FLAIR magnetic resonance.
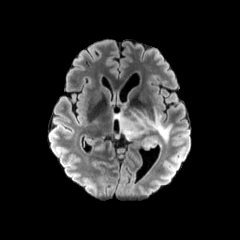
T1-weighted magnetic resonance.
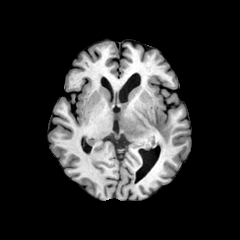
Post-contrast T1-weighted MR image.
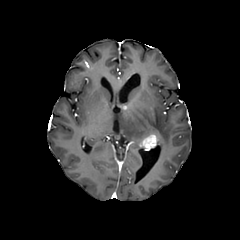
T2-weighted MR image.
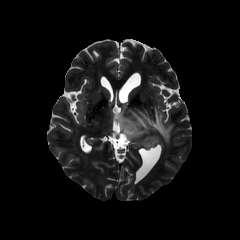
Head
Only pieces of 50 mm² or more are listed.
enhancing tumor: <box>140,134,157,149</box> | peritumoral edema: <box>113,108,171,143</box>